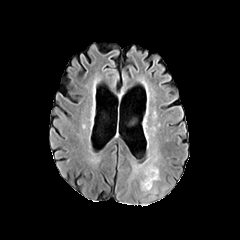
FLAIR magnetic resonance.
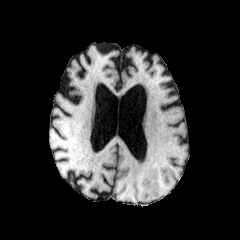
T1-weighted magnetic resonance.
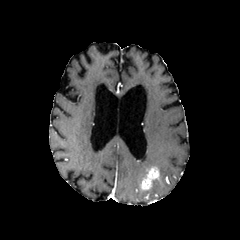
Post-contrast T1-weighted MR.
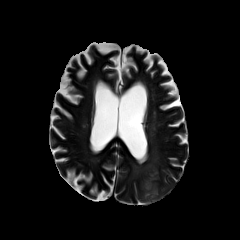
T2-weighted MR image.
240x240 | Brain | Axial view
enhancing tumor: <box>141,167,159,189</box> | peritumoral edema: <box>131,151,159,178</box>